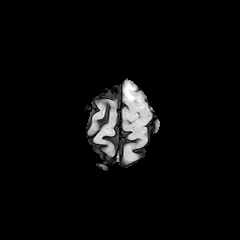
FLAIR MR.
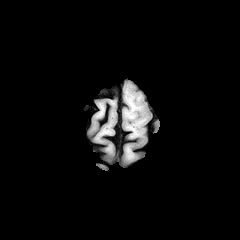
Same slice, T1-weighted MR image.
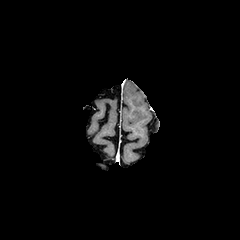
Post-contrast T1-weighted magnetic resonance.
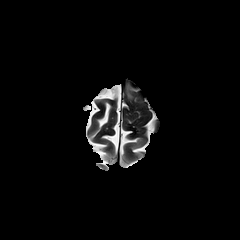
T2-weighted MR image of the same slice.
Axial slice; Brain
peritumoral edema — [x1=126, y1=84, x2=133, y2=99]